FLAIR MRI.
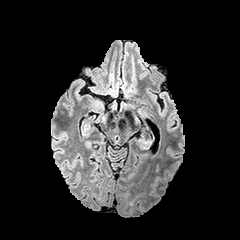
T1-weighted MR image.
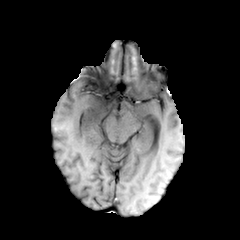
Post-contrast T1-weighted magnetic resonance.
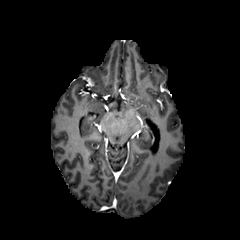
T2-weighted MR image.
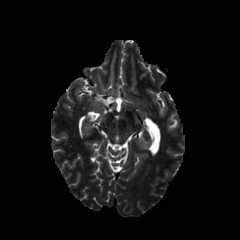
Axial view; Head
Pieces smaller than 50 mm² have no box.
The largest peritumoral edema region is at x1=126, y1=125, x2=132, y2=135.